FLAIR MRI.
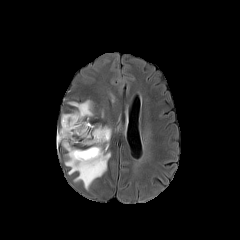
T1-weighted magnetic resonance.
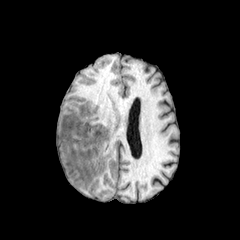
Post-contrast T1-weighted MRI.
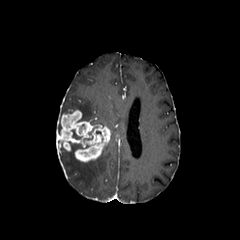
T2-weighted MR.
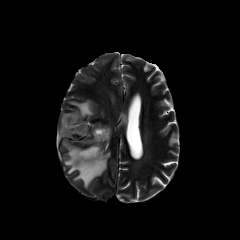
Brain
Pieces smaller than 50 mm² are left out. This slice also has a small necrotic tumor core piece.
Annotated regions:
- peritumoral edema: left=64, top=141, right=110, bottom=189; left=68, top=100, right=93, bottom=121
- enhancing tumor: left=56, top=110, right=110, bottom=162